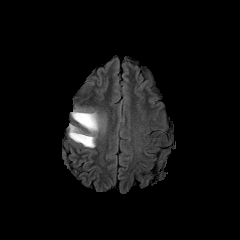
FLAIR MRI.
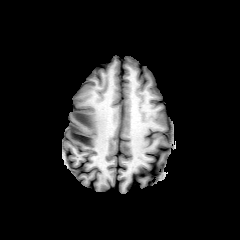
T1-weighted MR image.
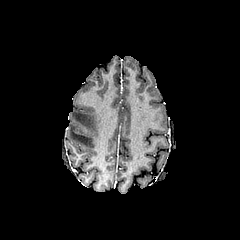
Same slice, post-contrast T1-weighted MR.
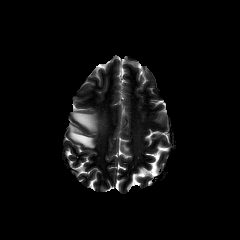
Same slice, T2-weighted MR.
Head
2 peritumoral edema regions are bounded by box=[69, 124, 94, 147]; box=[72, 111, 100, 133].